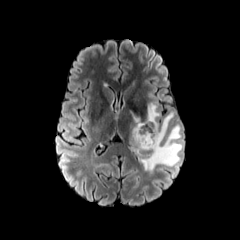
FLAIR magnetic resonance.
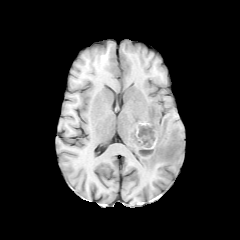
Same slice, T1-weighted MRI.
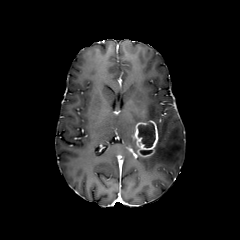
Post-contrast T1-weighted MRI.
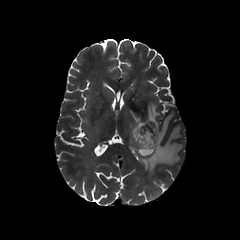
T2-weighted MR of the same slice.
Brain, 240x240, Axial view
• peritumoral edema: <bbox>128, 110, 141, 153</bbox>, <bbox>137, 103, 182, 174</bbox>
• necrotic tumor core: <bbox>137, 123, 155, 148</bbox>, <bbox>140, 150, 152, 155</bbox>
• enhancing tumor: <bbox>133, 120, 158, 157</bbox>